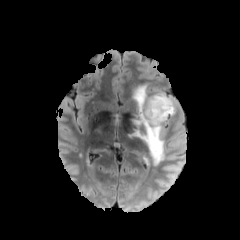
FLAIR MR image.
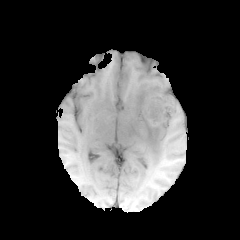
T1-weighted magnetic resonance.
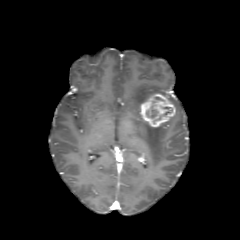
Post-contrast T1-weighted MRI of the same slice.
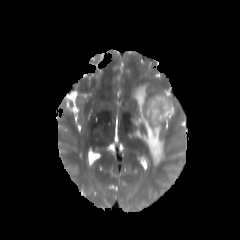
Same slice, T2-weighted MR.
Axial view, Brain
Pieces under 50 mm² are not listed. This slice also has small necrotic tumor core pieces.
Segmented structures:
• peritumoral edema: left=133, top=85, right=164, bottom=165
• enhancing tumor: left=140, top=93, right=175, bottom=127